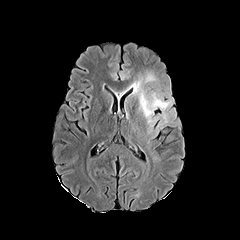
FLAIR MRI.
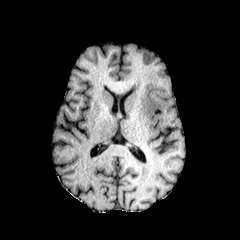
T1-weighted MR of the same slice.
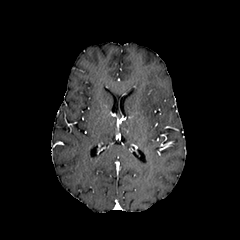
Post-contrast T1-weighted MRI of the same slice.
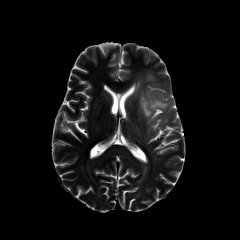
T2-weighted MRI.
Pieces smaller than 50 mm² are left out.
The 2 largest peritumoral edema regions are located at (130,78,170,123), (145,73,155,82).